Slice index 132. Axial plane. Head.
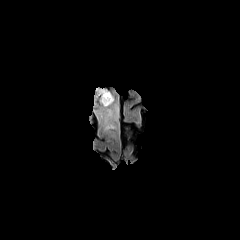
FLAIR MRI.
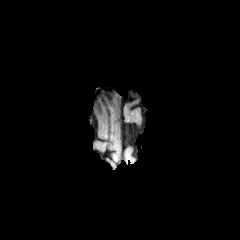
Same slice, T1-weighted MR.
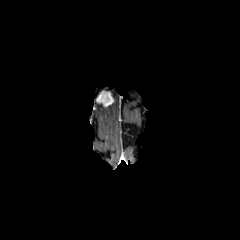
Same slice, post-contrast T1-weighted MRI.
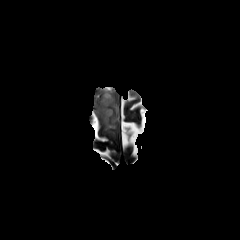
Same slice, T2-weighted magnetic resonance.
The enhancing tumor appears at left=97, top=90, right=113, bottom=106. The peritumoral edema is located at left=93, top=88, right=119, bottom=131.